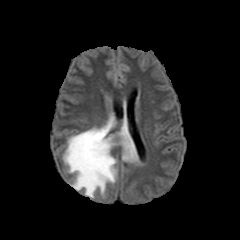
FLAIR MR image.
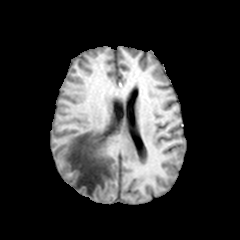
T1-weighted magnetic resonance of the same slice.
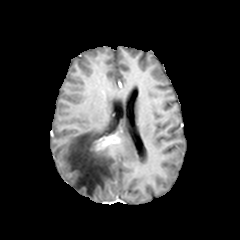
Same slice, post-contrast T1-weighted MR.
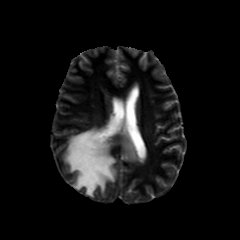
T2-weighted MRI.
{"enhancing_tumor": ["x1=91, y1=135, x2=118, y2=151"], "peritumoral_edema": ["x1=62, y1=117, x2=138, y2=197"]}